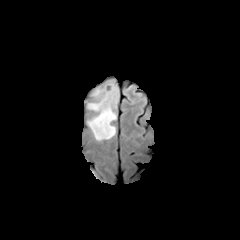
FLAIR magnetic resonance.
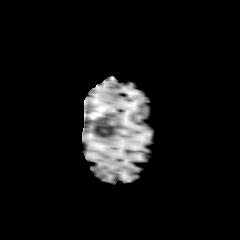
T1-weighted MR image.
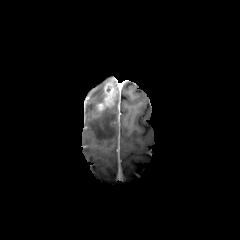
Post-contrast T1-weighted magnetic resonance.
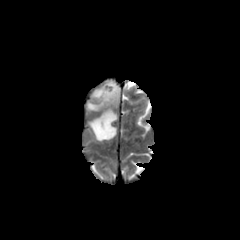
T2-weighted magnetic resonance.
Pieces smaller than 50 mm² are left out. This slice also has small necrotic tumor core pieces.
The largest enhancing tumor region appears at <bbox>104, 83, 116, 105</bbox>. The peritumoral edema is bounded by <bbox>87, 87, 117, 141</bbox>.